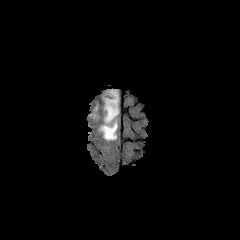
FLAIR MRI.
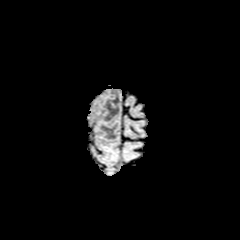
T1-weighted MR of the same slice.
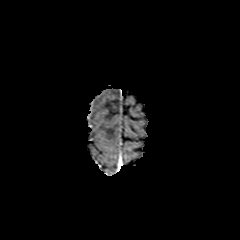
Post-contrast T1-weighted MR.
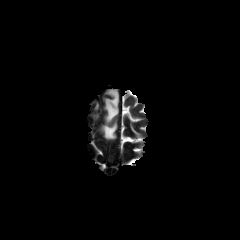
T2-weighted magnetic resonance of the same slice.
Brain, Image size 240x240
peritumoral edema: bounding box (x1=100, y1=90, x2=118, y2=140)